FLAIR MR.
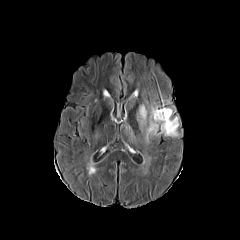
T1-weighted MRI.
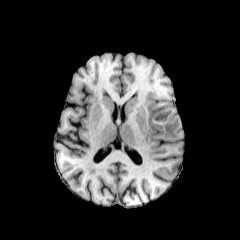
Post-contrast T1-weighted MRI.
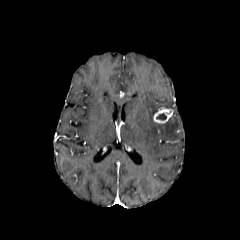
T2-weighted magnetic resonance.
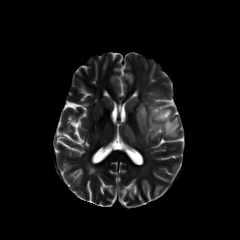
Axial slice; Head
- necrotic tumor core: box=[156, 113, 166, 119]
- enhancing tumor: box=[153, 107, 172, 123]
- peritumoral edema: box=[137, 105, 179, 142]